Slice 104 of 155.
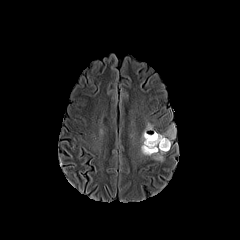
FLAIR MRI.
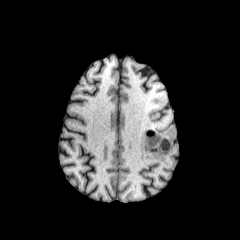
T1-weighted MR image of the same slice.
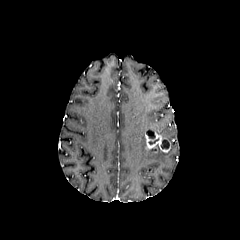
Post-contrast T1-weighted MR.
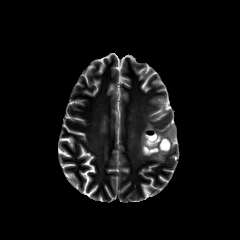
T2-weighted MR.
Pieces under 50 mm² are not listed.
• necrotic tumor core: bbox(146, 130, 155, 139); bbox(161, 139, 169, 149)
• peritumoral edema: bbox(162, 125, 175, 144); bbox(141, 131, 165, 161)
• enhancing tumor: bbox(145, 129, 170, 153)